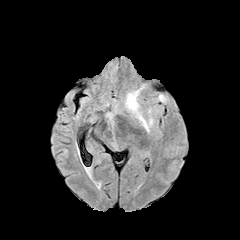
FLAIR magnetic resonance.
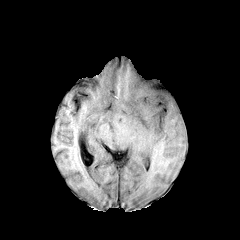
Same slice, T1-weighted MR.
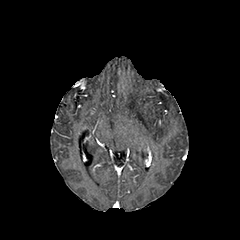
Post-contrast T1-weighted magnetic resonance.
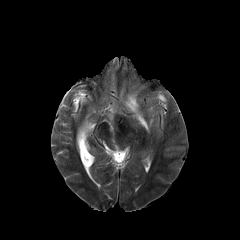
Same slice, T2-weighted magnetic resonance.
Axial view
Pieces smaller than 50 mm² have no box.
peritumoral edema at 125, 86, 152, 131